Axial slice; Slice 55 of 155
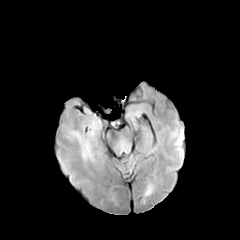
FLAIR MR image.
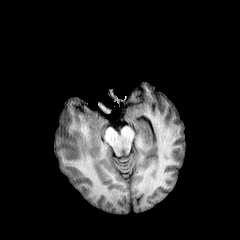
T1-weighted MRI.
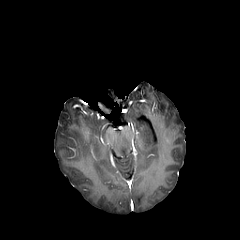
Post-contrast T1-weighted MR image of the same slice.
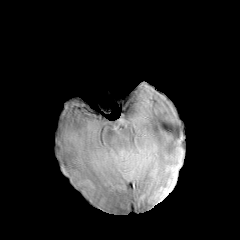
T2-weighted MRI of the same slice.
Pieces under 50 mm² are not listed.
peritumoral edema: 82 143 90 156